FLAIR MRI.
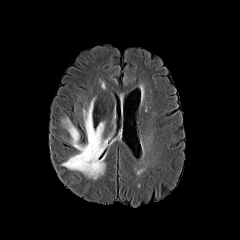
T1-weighted magnetic resonance.
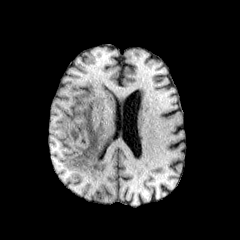
Post-contrast T1-weighted magnetic resonance.
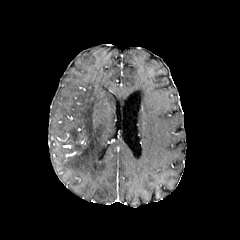
T2-weighted MR image.
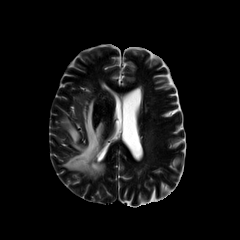
Head, 240x240 px
peritumoral edema = (left=62, top=98, right=107, bottom=179)